Image width 240 mm | Brain | Axial slice | Slice index 68
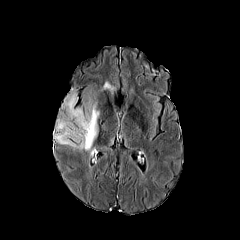
FLAIR magnetic resonance.
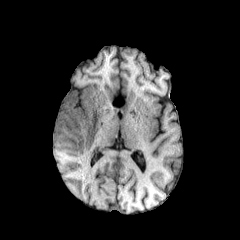
T1-weighted MRI of the same slice.
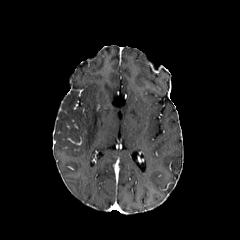
Post-contrast T1-weighted MRI.
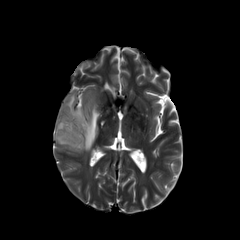
T2-weighted MR of the same slice.
peritumoral edema: bbox(54, 91, 99, 152); bbox(103, 81, 115, 93)